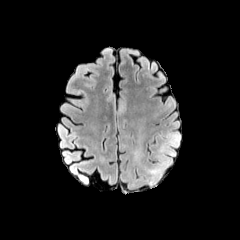
FLAIR MR.
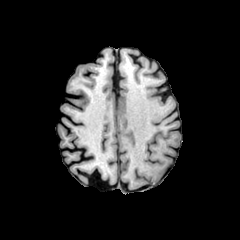
T1-weighted MR.
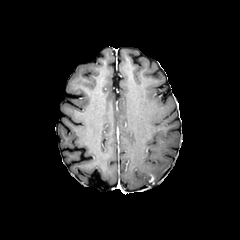
Same slice, post-contrast T1-weighted MR.
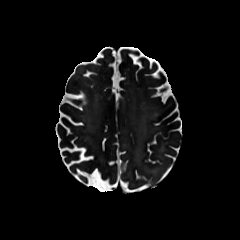
Same slice, T2-weighted MR.
Image size 240x240 | Head
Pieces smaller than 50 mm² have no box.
peritumoral edema: [147,167,160,182]